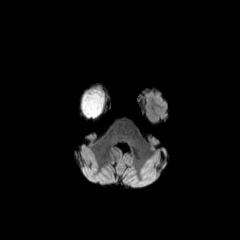
FLAIR magnetic resonance.
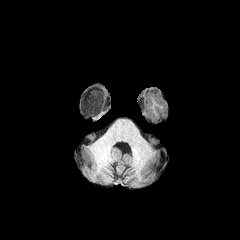
T1-weighted MRI.
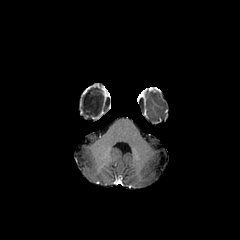
Same slice, post-contrast T1-weighted MR image.
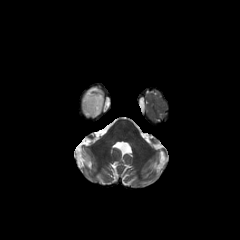
T2-weighted MR image.
Brain. Axial view.
<segmentation>
  <enhancing_tumor>{"x1": 83, "y1": 110, "x2": 93, "y2": 117}</enhancing_tumor>
  <peritumoral_edema>{"x1": 81, "y1": 88, "x2": 104, "y2": 117}</peritumoral_edema>
</segmentation>